FLAIR MR.
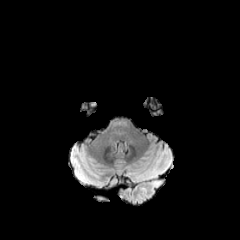
T1-weighted magnetic resonance.
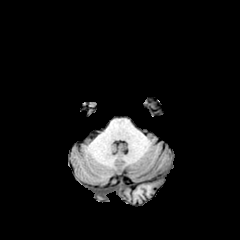
Post-contrast T1-weighted MR.
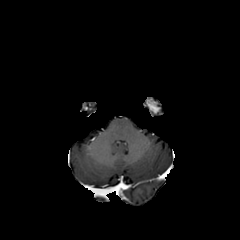
T2-weighted magnetic resonance.
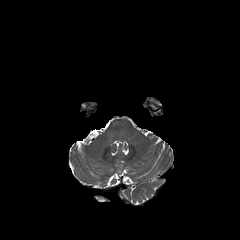
Axial view, Brain
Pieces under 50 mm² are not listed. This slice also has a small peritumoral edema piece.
The enhancing tumor lies within region(150, 98, 160, 113).